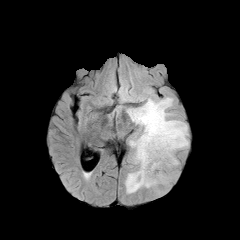
FLAIR MRI.
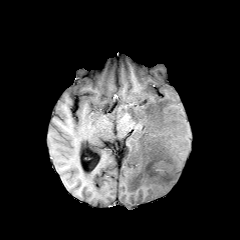
Same slice, T1-weighted MRI.
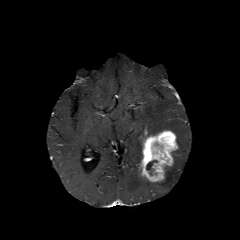
Post-contrast T1-weighted magnetic resonance.
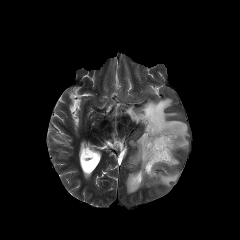
T2-weighted MR.
Axial view. 240x240. Brain.
- enhancing tumor: bbox=[139, 129, 178, 182]
- peritumoral edema: bbox=[127, 97, 188, 149]; bbox=[125, 137, 179, 193]
- necrotic tumor core: bbox=[146, 160, 157, 170]